Axial slice | Image covers 240 mm x 240 mm | Brain
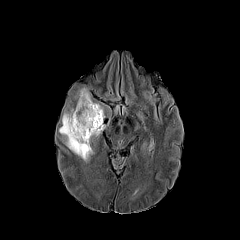
FLAIR MR image.
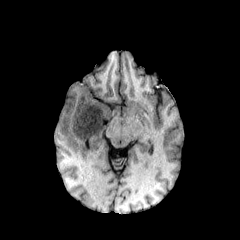
Same slice, T1-weighted MRI.
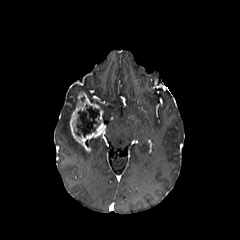
Same slice, post-contrast T1-weighted magnetic resonance.
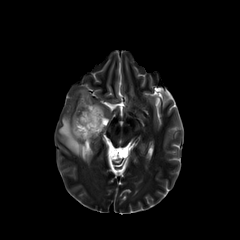
T2-weighted magnetic resonance.
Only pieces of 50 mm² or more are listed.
necrotic tumor core: <box>73,104,100,137</box>
enhancing tumor: <box>70,92,105,151</box>
peritumoral edema: <box>59,108,92,161</box>, <box>77,87,91,101</box>